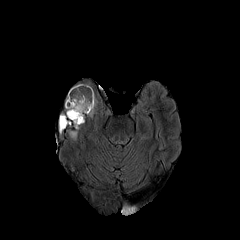
FLAIR MR image.
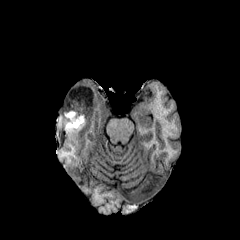
Same slice, T1-weighted MRI.
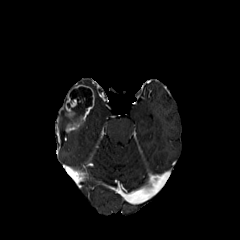
Post-contrast T1-weighted MR image of the same slice.
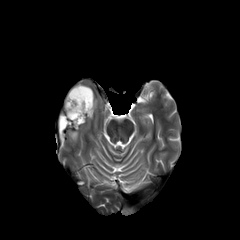
T2-weighted magnetic resonance.
Brain | Axial plane
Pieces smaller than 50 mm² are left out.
necrotic tumor core: l=61, t=86, r=92, b=126 | enhancing tumor: l=65, t=84, r=94, b=131 | peritumoral edema: l=59, t=114, r=65, b=132; l=88, t=99, r=97, b=117; l=69, t=128, r=78, b=140